FLAIR magnetic resonance.
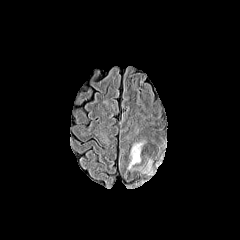
T1-weighted MR.
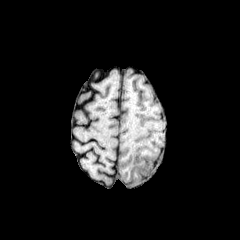
Post-contrast T1-weighted MR image.
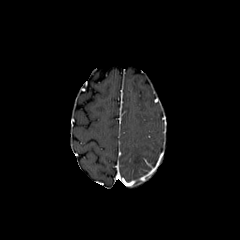
T2-weighted MR.
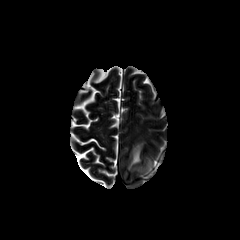
Brain
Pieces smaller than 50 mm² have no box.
The largest peritumoral edema region appears at (128,143,142,169).